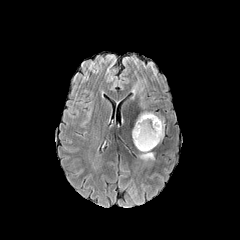
FLAIR MRI.
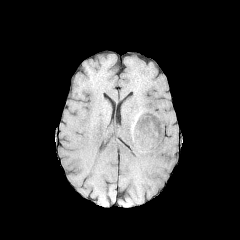
T1-weighted magnetic resonance.
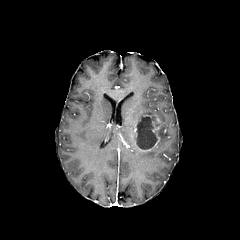
Post-contrast T1-weighted MR image.
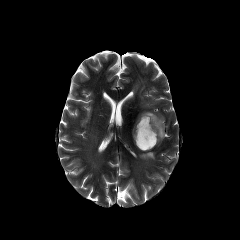
Same slice, T2-weighted MRI.
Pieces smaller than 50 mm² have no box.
enhancing tumor — <bbox>136, 115, 161, 151</bbox>
peritumoral edema — <bbox>136, 112, 156, 123</bbox>, <bbox>140, 151, 154, 160</bbox>, <bbox>159, 118, 164, 140</bbox>
necrotic tumor core — <bbox>136, 116, 157, 149</bbox>